FLAIR MR.
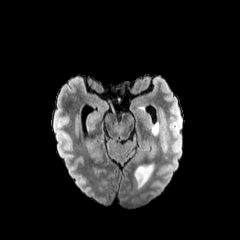
T1-weighted MR.
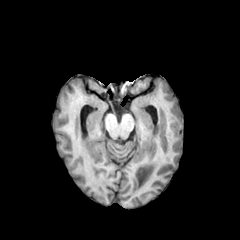
Post-contrast T1-weighted MR image.
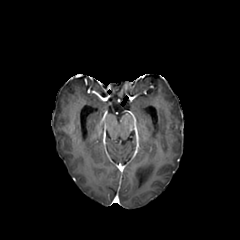
T2-weighted MR image.
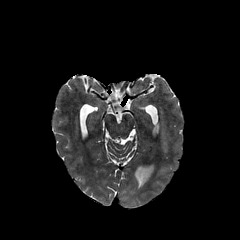
Brain
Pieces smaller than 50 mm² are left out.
peritumoral edema: <box>151,123,158,134</box>